FLAIR MR image.
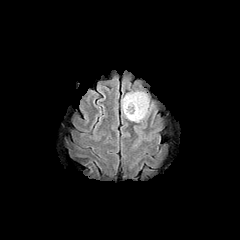
T1-weighted MRI.
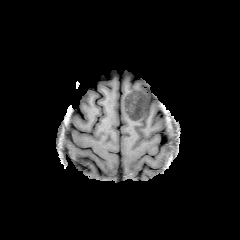
Post-contrast T1-weighted MR.
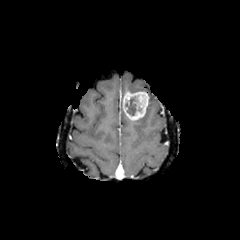
T2-weighted MRI.
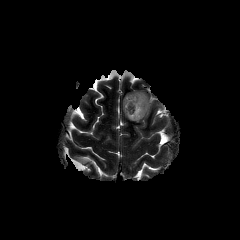
Brain; Image size 240x240
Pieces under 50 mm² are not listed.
{
  "necrotic_tumor_core": [
    "box=[125, 97, 136, 115]"
  ],
  "peritumoral_edema": [
    "box=[134, 98, 153, 122]"
  ],
  "enhancing_tumor": [
    "box=[123, 91, 148, 121]"
  ]
}